Brain, 240x240
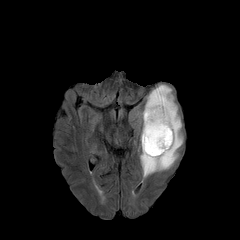
FLAIR MRI.
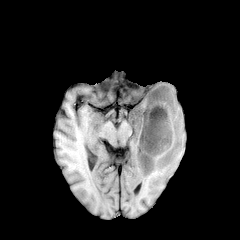
T1-weighted MRI.
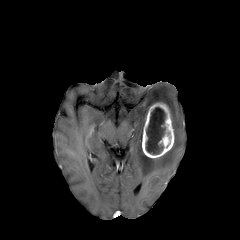
Same slice, post-contrast T1-weighted magnetic resonance.
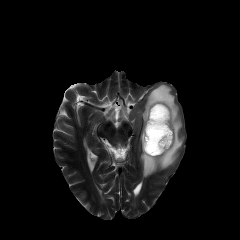
T2-weighted MR image of the same slice.
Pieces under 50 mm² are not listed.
The necrotic tumor core is at 146:107:165:154. The largest peritumoral edema region is located at 137:84:183:177. The enhancing tumor appears at 142:102:174:158.